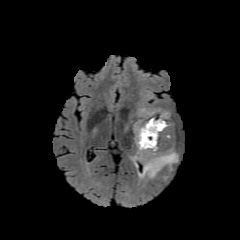
FLAIR MR.
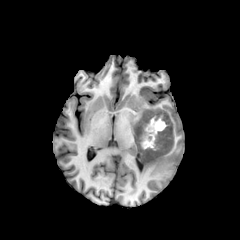
Same slice, T1-weighted MR image.
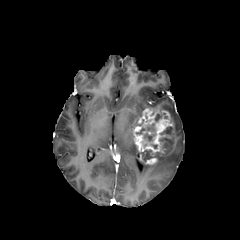
Same slice, post-contrast T1-weighted magnetic resonance.
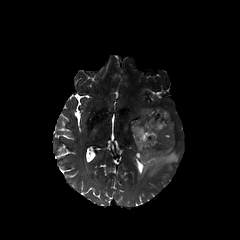
T2-weighted MR.
Head
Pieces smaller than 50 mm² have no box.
<segmentation>
  <peritumoral_edema>139, 142, 179, 179; 132, 149, 138, 164</peritumoral_edema>
  <enhancing_tumor>133, 108, 173, 164</enhancing_tumor>
  <necrotic_tumor_core>154, 113, 167, 122; 140, 150, 160, 161; 136, 123, 157, 148; 159, 127, 171, 150</necrotic_tumor_core>
</segmentation>